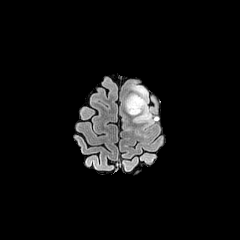
FLAIR magnetic resonance.
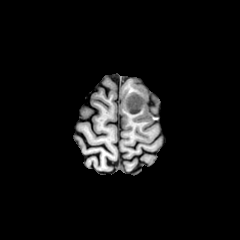
T1-weighted MRI.
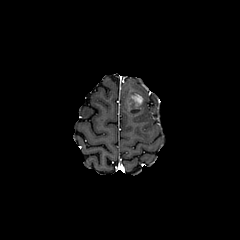
Post-contrast T1-weighted MRI.
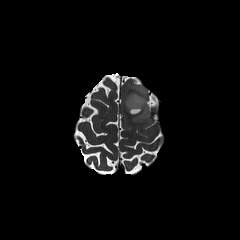
T2-weighted MR image of the same slice.
Head
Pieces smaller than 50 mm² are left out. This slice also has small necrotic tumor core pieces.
{"peritumoral_edema": ["l=124, t=84, r=154, b=124"], "enhancing_tumor": ["l=126, t=94, r=143, b=115"]}